Image width 240 mm, 1.00 mm slice spacing, Image size 240x240, Axial view, Head
FLAIR MRI.
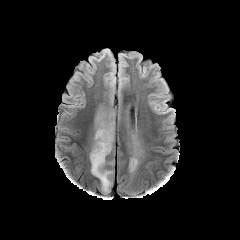
T1-weighted MR.
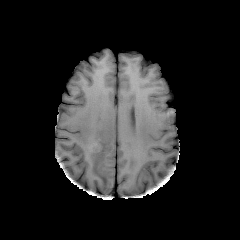
Post-contrast T1-weighted MR.
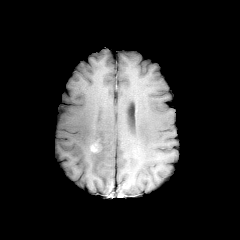
T2-weighted magnetic resonance.
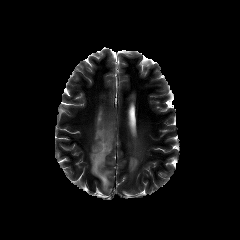
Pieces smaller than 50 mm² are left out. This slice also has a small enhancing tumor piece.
peritumoral edema at region(90, 118, 113, 192); region(129, 157, 138, 171)